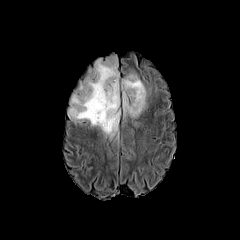
FLAIR magnetic resonance.
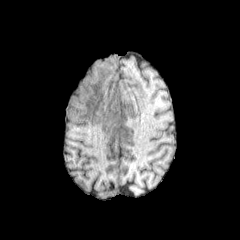
T1-weighted MR.
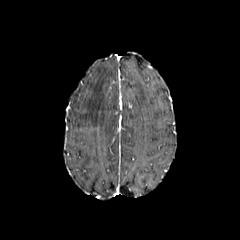
Post-contrast T1-weighted MR.
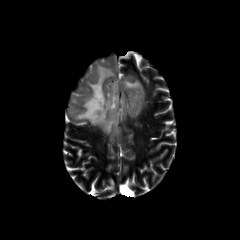
Same slice, T2-weighted MR image.
Axial view; Head; 240x240 px
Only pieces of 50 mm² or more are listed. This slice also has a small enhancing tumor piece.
peritumoral edema: bounding box box(68, 56, 146, 138)